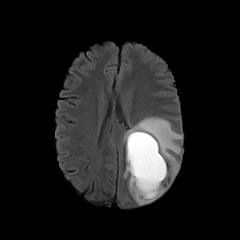
FLAIR MR.
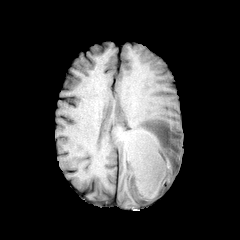
T1-weighted magnetic resonance.
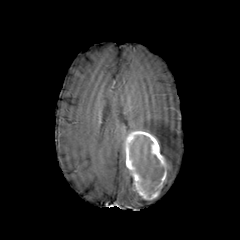
Post-contrast T1-weighted magnetic resonance.
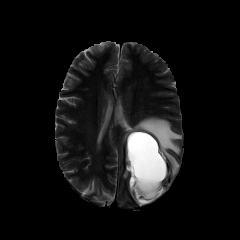
Same slice, T2-weighted MRI.
Head
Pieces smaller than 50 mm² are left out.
peritumoral edema at (left=123, top=167, right=153, bottom=205), (left=123, top=116, right=182, bottom=177)
enhancing tumor at (left=125, top=131, right=166, bottom=200)
necrotic tumor core at (left=130, top=135, right=164, bottom=195)